Brain | Axial plane
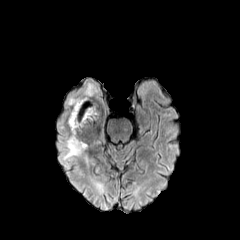
FLAIR MRI.
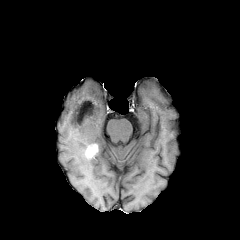
T1-weighted MR.
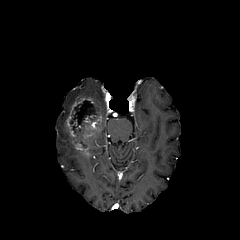
Post-contrast T1-weighted magnetic resonance.
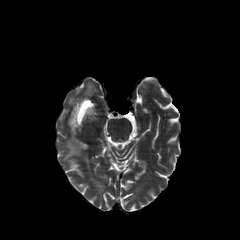
Same slice, T2-weighted MRI.
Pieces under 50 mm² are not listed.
peritumoral_edema:
  - (90,177,104,193)
  - (62,137,82,160)
  - (67,96,81,105)
enhancing_tumor:
  - (67,97,101,156)
necrotic_tumor_core:
  - (74,100,96,125)